Slice 111 of 155; Image width 240 mm, 1.00 mm slice spacing
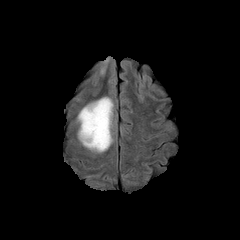
FLAIR MR image.
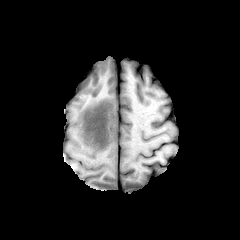
Same slice, T1-weighted magnetic resonance.
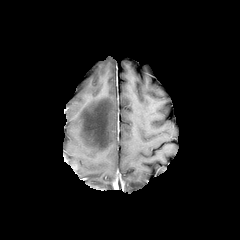
Same slice, post-contrast T1-weighted MR.
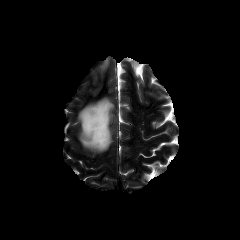
T2-weighted MRI.
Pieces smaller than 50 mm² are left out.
<segmentation>
  <peritumoral_edema>78 97 113 152</peritumoral_edema>
</segmentation>